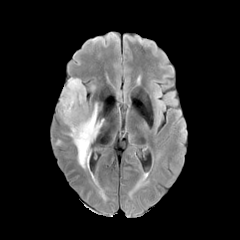
FLAIR MRI.
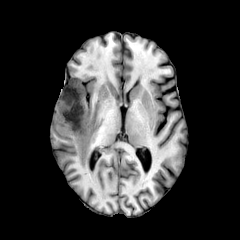
Same slice, T1-weighted magnetic resonance.
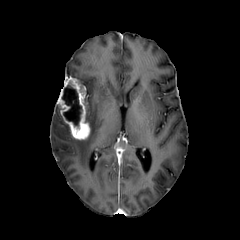
Post-contrast T1-weighted MR.
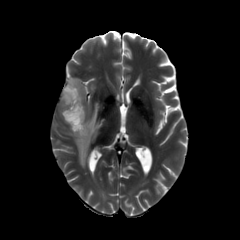
T2-weighted MRI.
Head | Axial view
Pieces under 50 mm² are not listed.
enhancing tumor = rect(57, 77, 90, 139)
necrotic tumor core = rect(62, 84, 82, 126)
peritumoral edema = rect(69, 103, 104, 168)